FLAIR MRI.
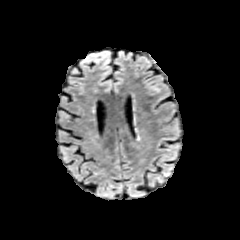
T1-weighted MR.
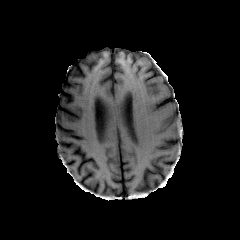
Post-contrast T1-weighted magnetic resonance.
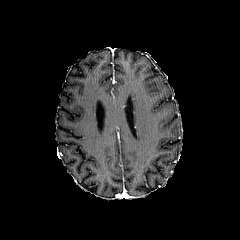
T2-weighted MR image.
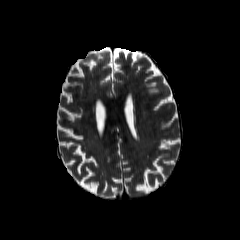
peritumoral edema at 135,127,140,143